FLAIR MR image.
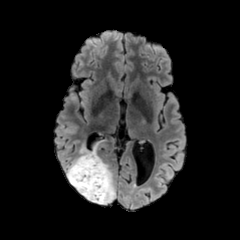
T1-weighted MR image.
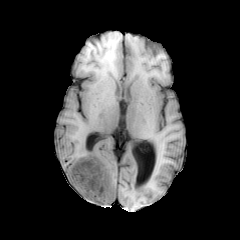
Post-contrast T1-weighted MR.
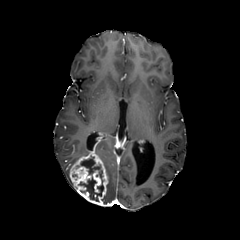
T2-weighted MR image.
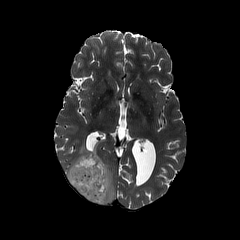
Brain. Axial slice.
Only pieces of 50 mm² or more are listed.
peritumoral edema = [103, 161, 115, 205], [66, 140, 102, 183]
necrotic tumor core = [78, 177, 103, 201], [80, 156, 102, 179]
enhancing tumor = [69, 149, 108, 205]